Slice 36/155, Axial plane, 240x240 px
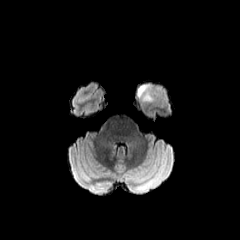
FLAIR MR.
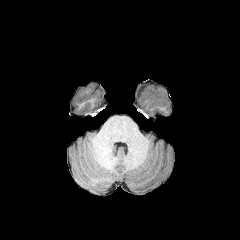
Same slice, T1-weighted magnetic resonance.
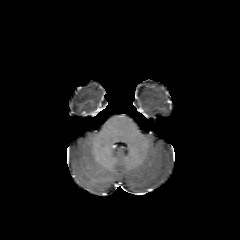
Post-contrast T1-weighted magnetic resonance of the same slice.
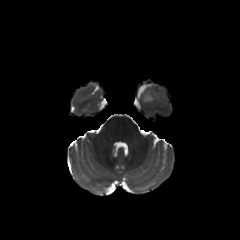
T2-weighted MR.
peritumoral edema: bounding box (left=137, top=84, right=152, bottom=101)